FLAIR MR.
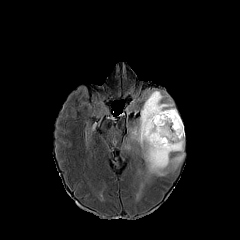
T1-weighted magnetic resonance.
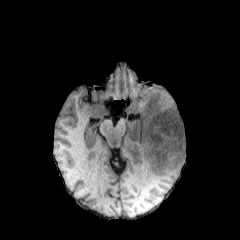
Post-contrast T1-weighted MR.
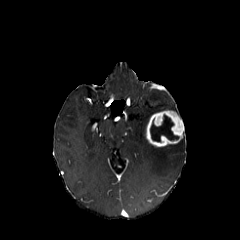
T2-weighted MR.
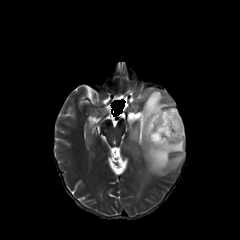
Brain
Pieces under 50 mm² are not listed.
The enhancing tumor lies within (left=145, top=110, right=184, bottom=147). The largest peritumoral edema region is bounded by (left=131, top=90, right=184, bottom=175). The necrotic tumor core appears at (left=150, top=115, right=178, bottom=141).